Image size 240x240; Head
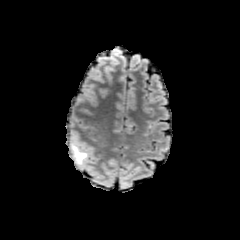
FLAIR MR.
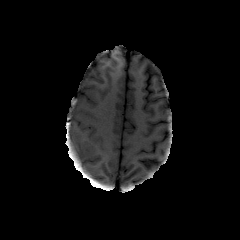
T1-weighted MRI.
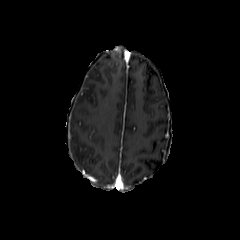
Post-contrast T1-weighted MR image.
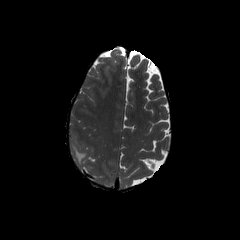
T2-weighted MR of the same slice.
The peritumoral edema lies within region(71, 143, 87, 164).